Slice 65 of 155; 240x240 px
FLAIR MR image.
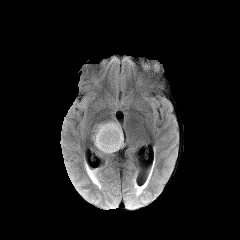
T1-weighted MR image.
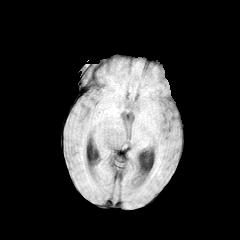
Post-contrast T1-weighted MR image.
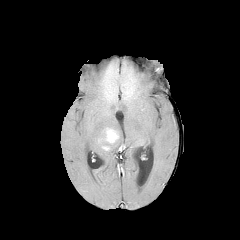
T2-weighted MR image.
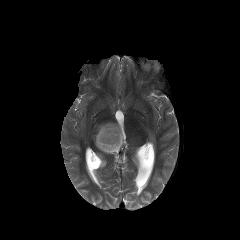
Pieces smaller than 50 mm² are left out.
enhancing_tumor:
  - x1=98, y1=128, x2=119, y2=144
peritumoral_edema:
  - x1=93, y1=122, x2=124, y2=153